FLAIR MRI.
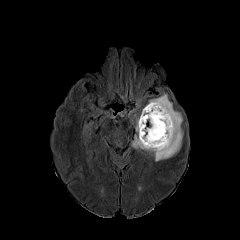
T1-weighted MRI.
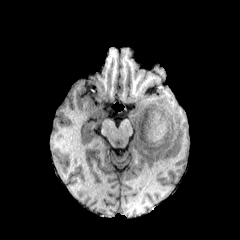
Post-contrast T1-weighted MR.
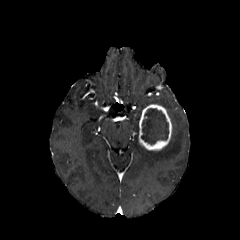
T2-weighted MR image.
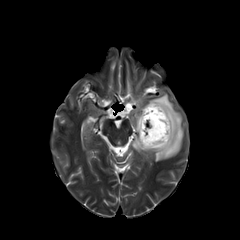
Axial view
{
  "peritumoral_edema": [
    "130, 85, 183, 161"
  ],
  "necrotic_tumor_core": [
    "141, 108, 168, 144"
  ],
  "enhancing_tumor": [
    "138, 104, 172, 150"
  ]
}